Image size 240x240, Axial plane
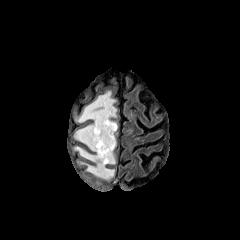
FLAIR MRI.
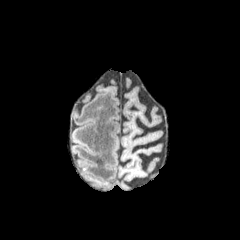
Same slice, T1-weighted MRI.
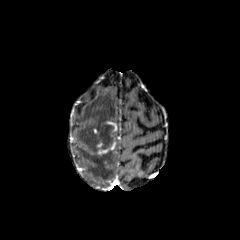
Same slice, post-contrast T1-weighted MRI.
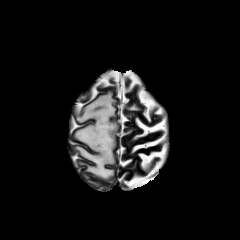
T2-weighted MRI.
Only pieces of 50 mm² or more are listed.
necrotic tumor core = bbox(98, 125, 113, 137)
enhancing tumor = bbox(97, 121, 117, 155)
peritumoral edema = bbox(74, 91, 115, 152); bbox(74, 147, 115, 180)